FLAIR magnetic resonance.
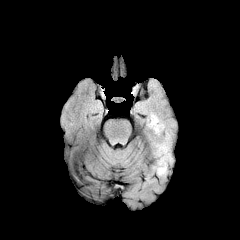
T1-weighted MR.
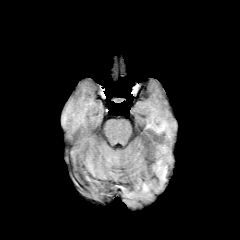
Post-contrast T1-weighted MRI.
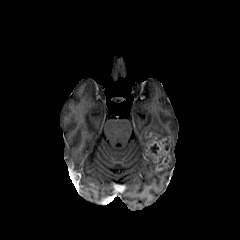
T2-weighted MRI.
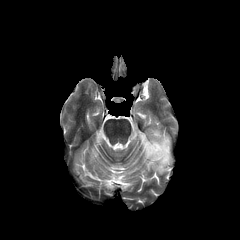
Head
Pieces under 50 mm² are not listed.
{"necrotic_tumor_core": ["x1=150, y1=144, x2=158, y2=154"], "peritumoral_edema": ["x1=145, y1=114, x2=171, y2=146", "x1=152, y1=148, x2=172, y2=175"], "enhancing_tumor": ["x1=145, y1=132, x2=170, y2=170"]}